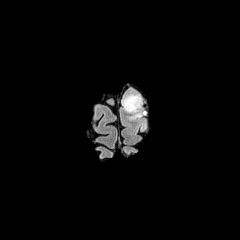
FLAIR MR image.
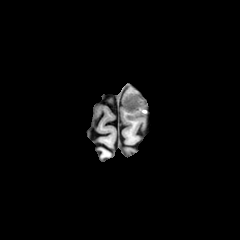
T1-weighted MRI of the same slice.
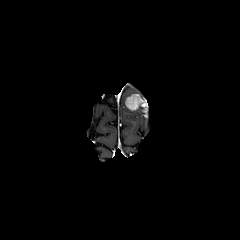
Post-contrast T1-weighted MR image.
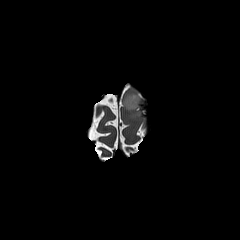
T2-weighted MRI.
Image size 240x240. Axial slice.
Segmented structures:
• peritumoral edema: bbox(122, 89, 143, 120)
• enhancing tumor: bbox(125, 94, 143, 110)